FLAIR magnetic resonance.
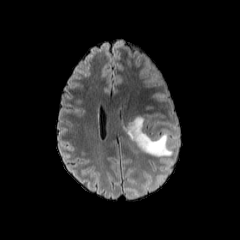
T1-weighted MR.
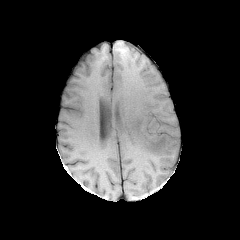
Post-contrast T1-weighted MR.
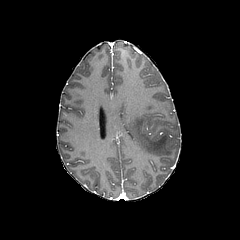
T2-weighted MR.
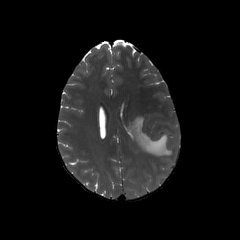
240x240. Head. Axial plane.
peritumoral edema at [x1=126, y1=116, x2=173, y2=157]